FLAIR MRI.
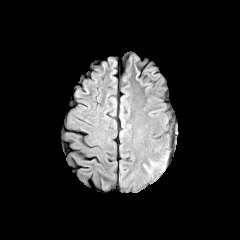
T1-weighted MR.
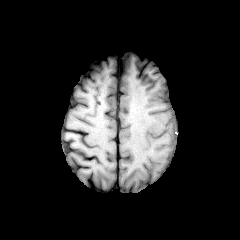
Post-contrast T1-weighted MRI.
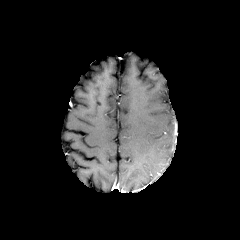
T2-weighted magnetic resonance.
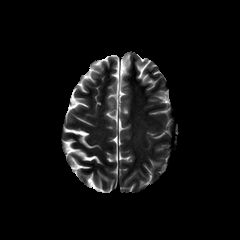
peritumoral edema = (x1=143, y1=150, x2=169, y2=178)